Slice 51/155. Image width 240 mm. 240x240.
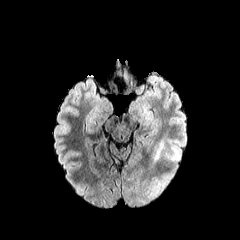
FLAIR MR image.
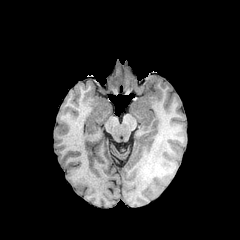
Same slice, T1-weighted MRI.
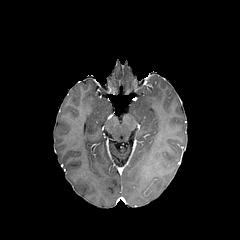
Post-contrast T1-weighted magnetic resonance.
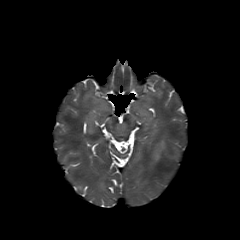
T2-weighted MR of the same slice.
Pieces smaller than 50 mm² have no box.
peritumoral edema — bbox(154, 140, 163, 159)